FLAIR MRI.
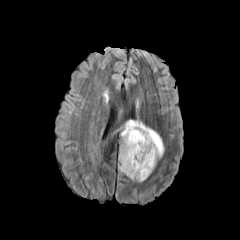
T1-weighted MR.
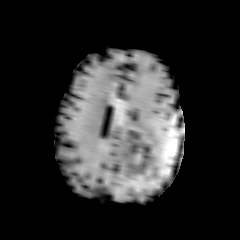
Post-contrast T1-weighted MR.
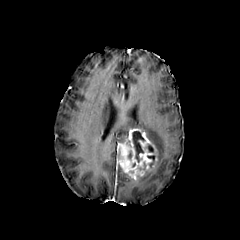
T2-weighted MR image.
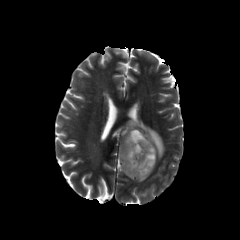
Image size 240x240. Axial view.
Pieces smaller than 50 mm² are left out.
The enhancing tumor appears at box(118, 128, 158, 180). The largest necrotic tumor core region appears at box(132, 131, 144, 162). The 2 largest peritumoral edema regions appear at box(136, 170, 152, 182); box(120, 119, 164, 159).